Axial view. Brain.
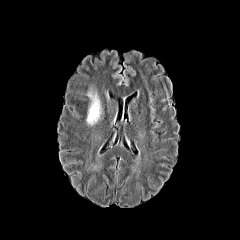
FLAIR MR.
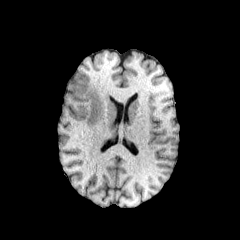
T1-weighted MR.
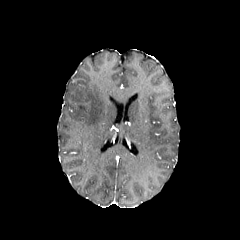
Post-contrast T1-weighted magnetic resonance of the same slice.
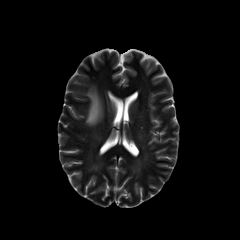
T2-weighted magnetic resonance of the same slice.
• peritumoral edema: bbox=[87, 90, 101, 125]